FLAIR MR image.
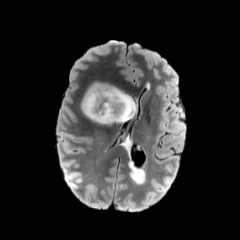
T1-weighted magnetic resonance.
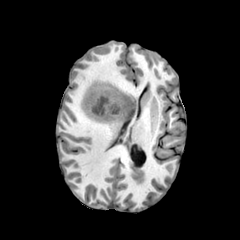
Post-contrast T1-weighted MR image.
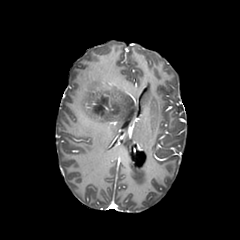
T2-weighted magnetic resonance.
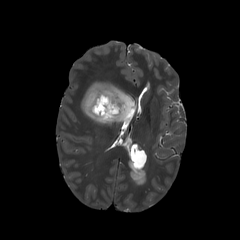
240x240. Axial slice.
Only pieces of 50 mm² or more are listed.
necrotic tumor core: box(94, 98, 106, 115)
enhancing tumor: box(90, 94, 120, 116)
peritumoral edema: box(81, 82, 136, 124)